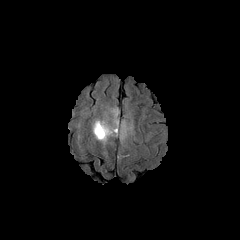
FLAIR MRI.
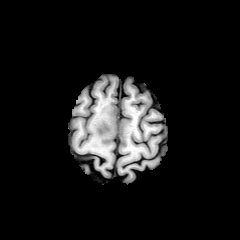
Same slice, T1-weighted MR.
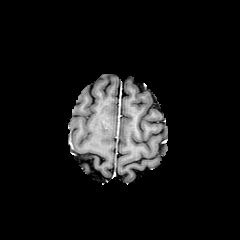
Same slice, post-contrast T1-weighted MRI.
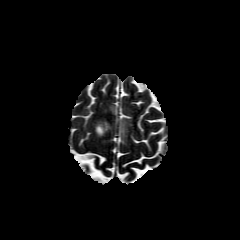
T2-weighted MRI of the same slice.
240x240; Head; Axial plane
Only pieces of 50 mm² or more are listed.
{
  "peritumoral_edema": [
    "[111,109,118,125]",
    "[121,121,132,141]",
    "[93,120,111,139]"
  ]
}